FLAIR magnetic resonance.
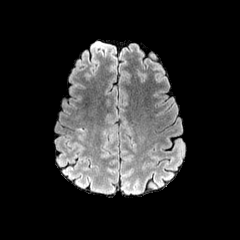
T1-weighted MR image.
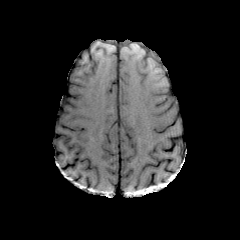
Post-contrast T1-weighted MRI.
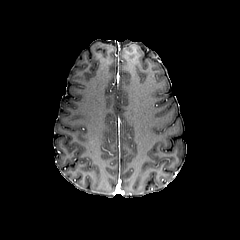
T2-weighted magnetic resonance.
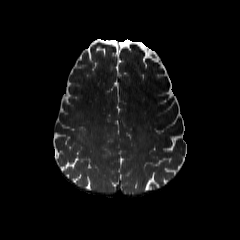
Image size 240x240; Head; Axial view
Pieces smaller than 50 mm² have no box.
peritumoral edema at bbox(102, 141, 110, 157)